240x240, Axial view
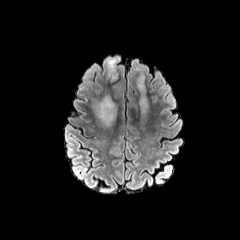
FLAIR MR image.
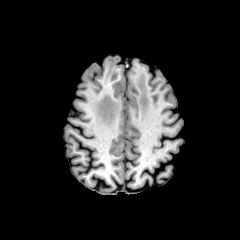
Same slice, T1-weighted MR.
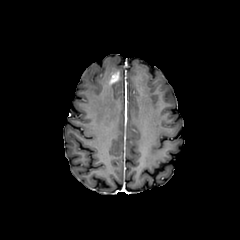
Same slice, post-contrast T1-weighted magnetic resonance.
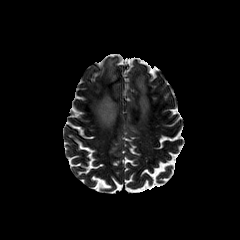
T2-weighted MR.
3 peritumoral edema regions appear at (x1=95, y1=96, x2=116, y2=127), (x1=137, y1=67, x2=147, y2=114), (x1=106, y1=57, x2=119, y2=77). The enhancing tumor is bounded by (x1=110, y1=72, x2=118, y2=83).